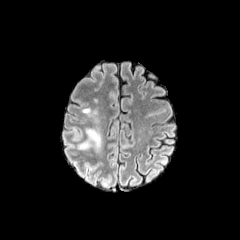
FLAIR magnetic resonance.
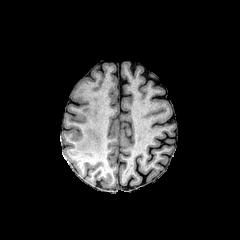
T1-weighted MR image of the same slice.
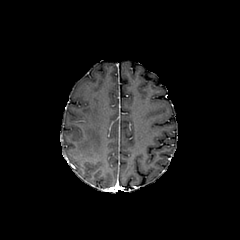
Post-contrast T1-weighted MR of the same slice.
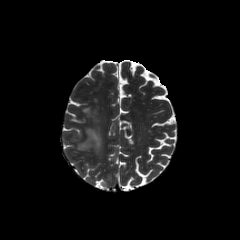
Same slice, T2-weighted MR.
Head
peritumoral edema at bbox(78, 128, 102, 150); bbox(91, 104, 104, 118)